FLAIR magnetic resonance.
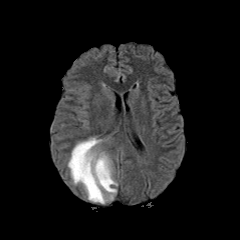
T1-weighted MR image.
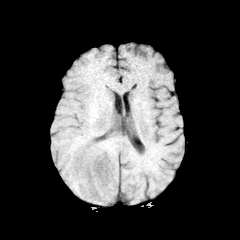
Post-contrast T1-weighted MRI.
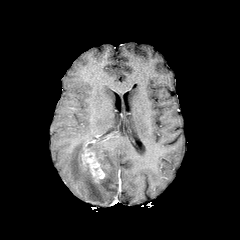
T2-weighted MRI.
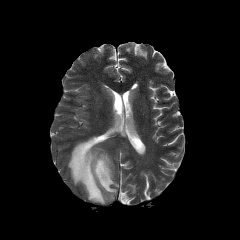
Axial view, 240x240 px, Head
Findings:
- peritumoral edema: (left=68, top=137, right=117, bottom=203)
- enhancing tumor: (left=81, top=140, right=108, bottom=182)